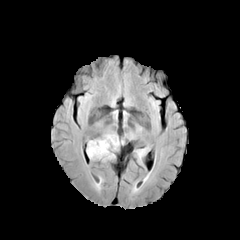
FLAIR magnetic resonance.
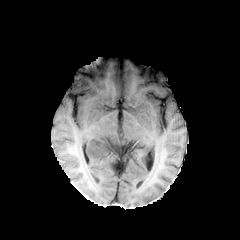
T1-weighted MR image.
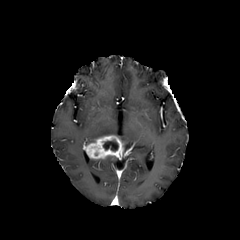
Post-contrast T1-weighted MRI.
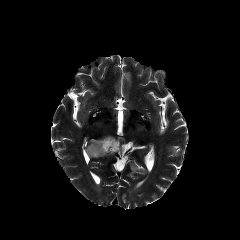
T2-weighted magnetic resonance.
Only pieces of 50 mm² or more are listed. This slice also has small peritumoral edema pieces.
enhancing tumor — 85:135:123:159
necrotic tumor core — 103:141:118:150